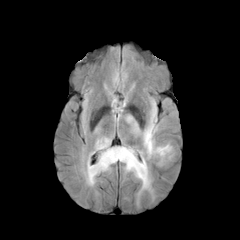
FLAIR MR.
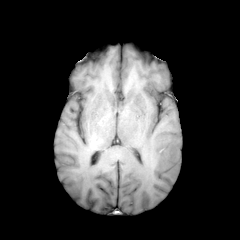
T1-weighted MRI of the same slice.
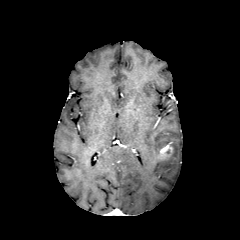
Post-contrast T1-weighted MRI.
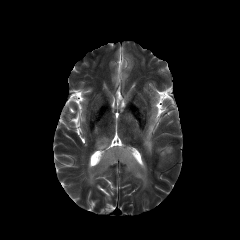
Same slice, T2-weighted MRI.
Axial plane, Image size 240x240
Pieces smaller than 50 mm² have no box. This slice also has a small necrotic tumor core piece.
enhancing tumor — (158, 143, 172, 159)
peritumoral edema — (159, 143, 174, 165), (143, 108, 168, 157), (87, 138, 151, 193)